Slice 54/155
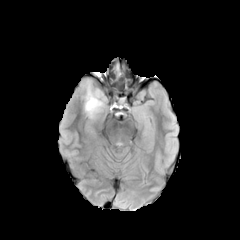
FLAIR MR.
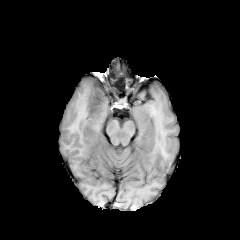
T1-weighted MR image.
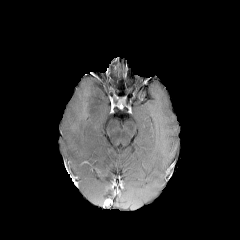
Post-contrast T1-weighted MR image.
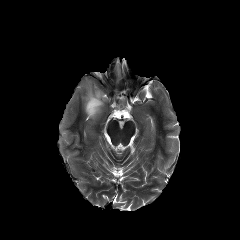
T2-weighted MR.
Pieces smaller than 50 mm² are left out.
peritumoral_edema:
  - (left=84, top=83, right=106, bottom=118)